Brain
FLAIR MRI.
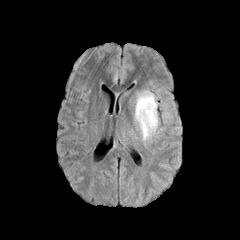
T1-weighted MR image.
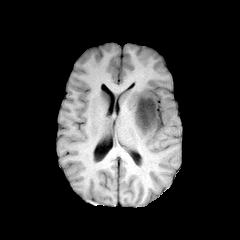
Post-contrast T1-weighted magnetic resonance.
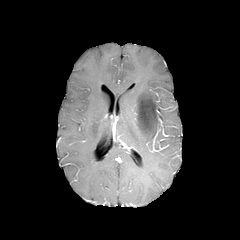
T2-weighted MR.
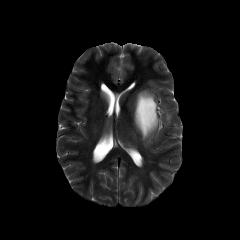
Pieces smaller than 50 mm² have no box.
2 peritumoral edema regions are located at x1=162 y1=103 x2=171 y2=123, x1=134 y1=89 x2=162 y2=144. The largest enhancing tumor region is bounded by x1=139 y1=98 x2=155 y2=128. The necrotic tumor core lies within x1=139 y1=99 x2=154 y2=128.